Brain
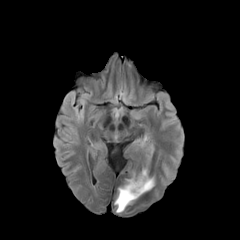
FLAIR MRI.
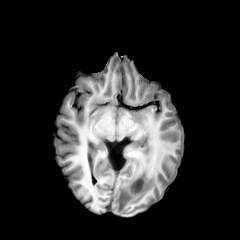
T1-weighted MR of the same slice.
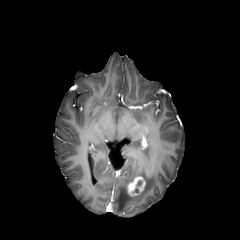
Post-contrast T1-weighted MR image.
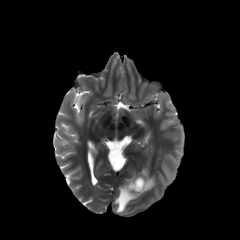
T2-weighted MRI.
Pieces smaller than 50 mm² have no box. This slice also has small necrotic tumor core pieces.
enhancing tumor: bounding box [127,176,145,196]
peritumoral edema: bounding box [115,169,154,212]